FLAIR MR image.
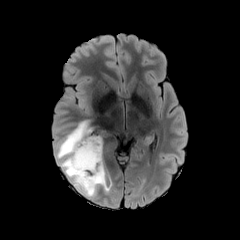
T1-weighted MR image.
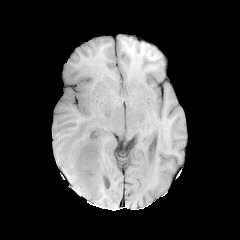
Post-contrast T1-weighted MR image.
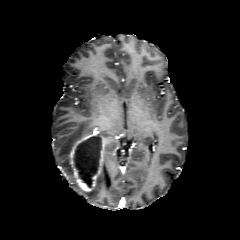
T2-weighted MR.
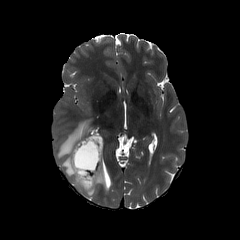
240x240 | Brain
<segmentation>
  <necrotic_tumor_core><box>74,137,102,187</box></necrotic_tumor_core>
  <enhancing_tumor><box>69,135,105,192</box></enhancing_tumor>
  <peritumoral_edema><box>56,120,109,198</box></peritumoral_edema>
</segmentation>